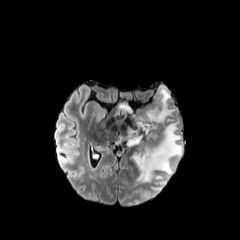
FLAIR MR image.
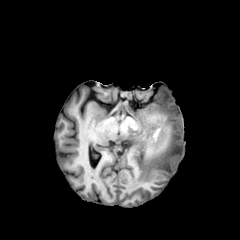
T1-weighted MR.
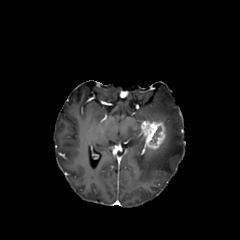
Post-contrast T1-weighted MR image of the same slice.
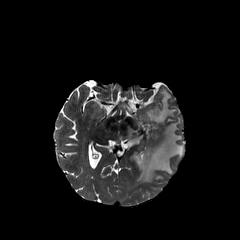
T2-weighted MR.
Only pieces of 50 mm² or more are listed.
{"peritumoral_edema": ["<bbox>125, 86, 183, 182</bbox>"], "necrotic_tumor_core": ["<bbox>150, 127, 161, 142</bbox>"], "enhancing_tumor": ["<bbox>141, 120, 166, 152</bbox>"]}